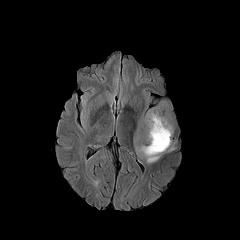
FLAIR MR image.
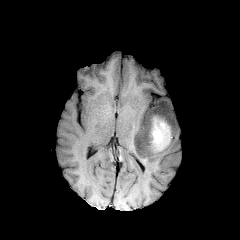
Same slice, T1-weighted MR.
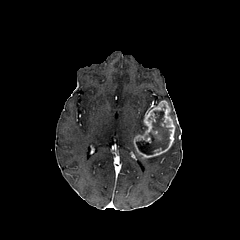
Post-contrast T1-weighted MR.
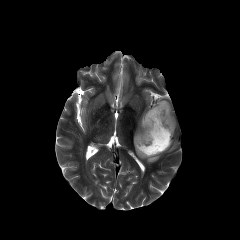
Same slice, T2-weighted MR.
Image size 240x240
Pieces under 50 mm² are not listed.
necrotic tumor core — <bbox>136, 111, 169, 154</bbox>
peritumoral edema — <bbox>145, 155, 160, 163</bbox>
enhancing tumor — <bbox>133, 100, 175, 158</bbox>